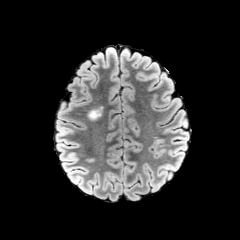
FLAIR MRI.
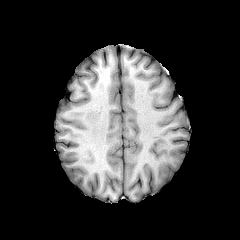
T1-weighted MR of the same slice.
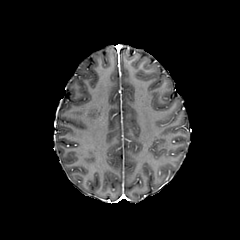
Post-contrast T1-weighted MR image.
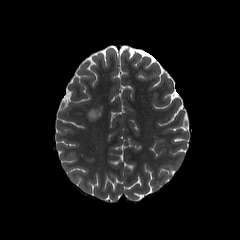
T2-weighted MR.
Axial view. Head.
peritumoral edema at [87,107,102,120]